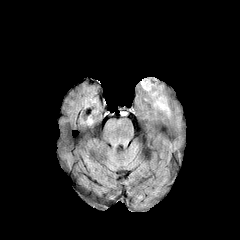
FLAIR magnetic resonance.
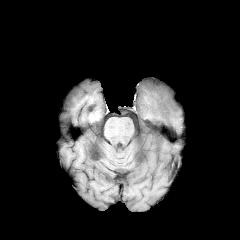
Same slice, T1-weighted MR image.
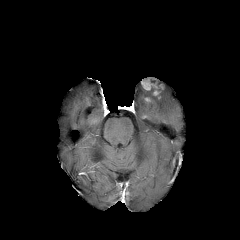
Post-contrast T1-weighted MR.
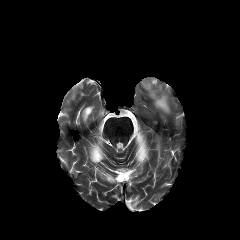
T2-weighted MR.
Axial view
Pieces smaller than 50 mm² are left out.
peritumoral edema: bbox=[147, 88, 170, 114] | enhancing tumor: bbox=[141, 78, 159, 90]